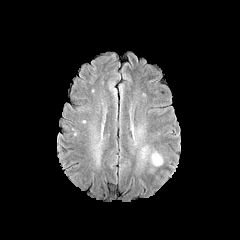
FLAIR MRI.
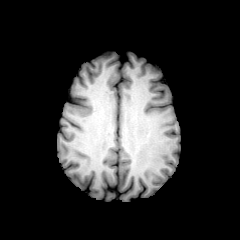
T1-weighted MR image.
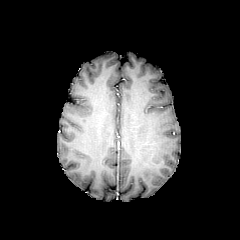
Post-contrast T1-weighted MR image.
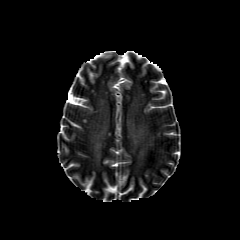
T2-weighted MRI.
Axial slice, Brain
{"peritumoral_edema": ["<bbox>154, 155, 161, 164</bbox>"]}